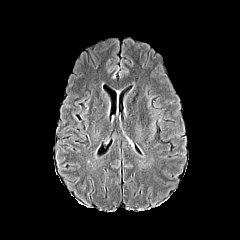
FLAIR MR.
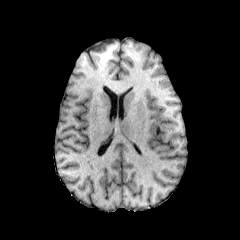
T1-weighted MRI.
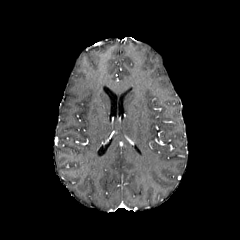
Post-contrast T1-weighted magnetic resonance of the same slice.
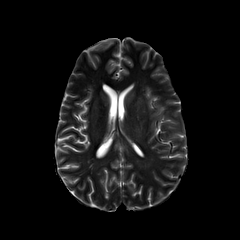
T2-weighted MRI.
Image size 240x240
* peritumoral edema: (150, 111, 156, 134)